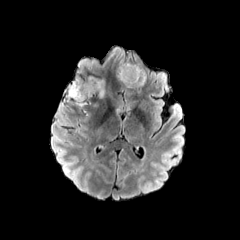
FLAIR MR.
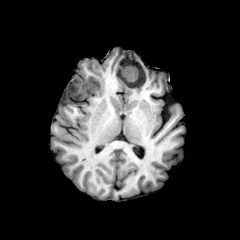
Same slice, T1-weighted magnetic resonance.
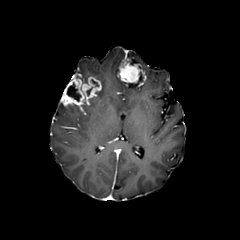
Post-contrast T1-weighted MR image.
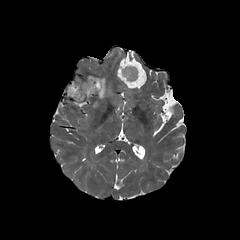
T2-weighted magnetic resonance of the same slice.
Axial plane | 240x240
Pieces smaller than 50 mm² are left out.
{"peritumoral_edema": ["98 79 105 98"], "necrotic_tumor_core": ["67 83 80 101"], "enhancing_tumor": ["62 73 102 110", "118 61 146 86"]}